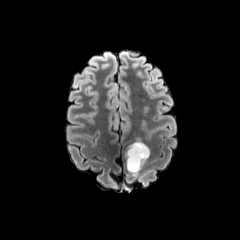
FLAIR magnetic resonance.
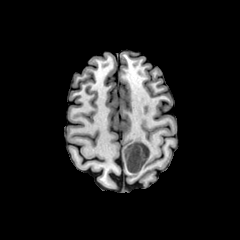
Same slice, T1-weighted MR image.
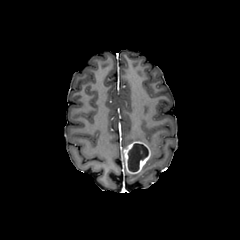
Post-contrast T1-weighted MR image of the same slice.
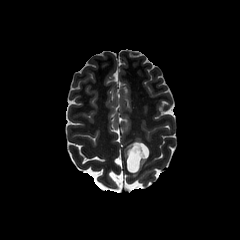
Same slice, T2-weighted MR image.
Axial slice | Image size 240x240
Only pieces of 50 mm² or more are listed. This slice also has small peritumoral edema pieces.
enhancing_tumor:
  - <bbox>123, 141, 150, 173</bbox>
necrotic_tumor_core:
  - <bbox>128, 143, 148, 171</bbox>